FLAIR MRI.
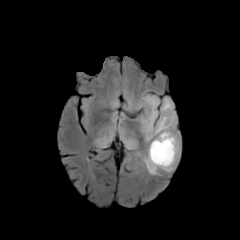
T1-weighted magnetic resonance.
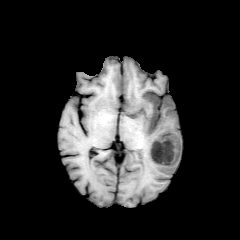
Post-contrast T1-weighted MR image.
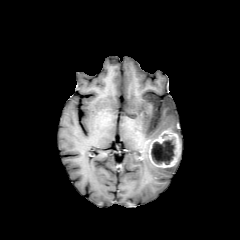
T2-weighted MR.
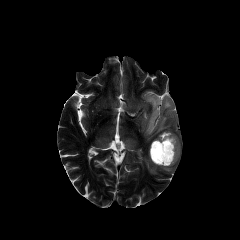
Axial slice
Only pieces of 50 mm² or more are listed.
The largest necrotic tumor core region is bounded by [151,139,174,164]. The largest enhancing tumor region is located at [149,129,181,167]. The largest peritumoral edema region lies within [136,92,180,174].